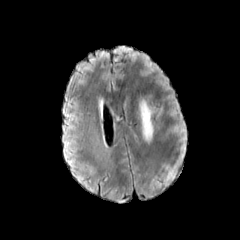
FLAIR MR.
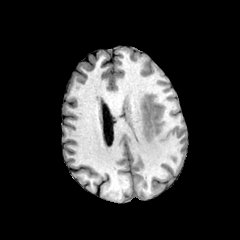
T1-weighted MRI of the same slice.
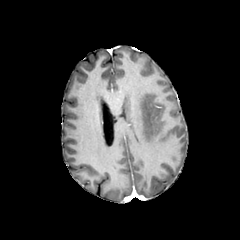
Post-contrast T1-weighted MRI of the same slice.
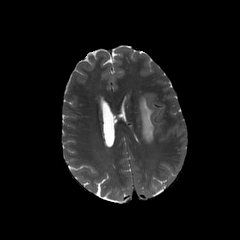
Same slice, T2-weighted magnetic resonance.
Brain. Axial view.
The peritumoral edema lies within (139,98,153,142).